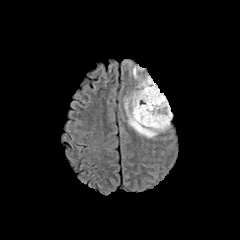
FLAIR MRI.
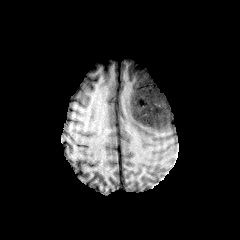
T1-weighted MR of the same slice.
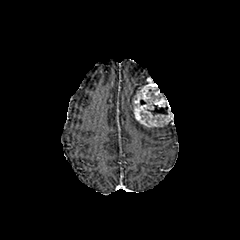
Same slice, post-contrast T1-weighted MR.
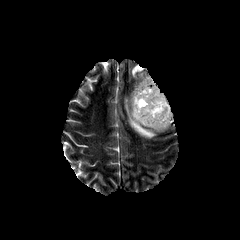
Same slice, T2-weighted MR.
Axial plane
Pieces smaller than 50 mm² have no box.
enhancing tumor = x1=132, y1=77, x2=173, y2=127
necrotic tumor core = x1=148, y1=105, x2=167, y2=115
peritumoral edema = x1=132, y1=66, x2=143, y2=78; x1=125, y1=99, x2=169, y2=137